Image width 240 mm, 1.00 mm slice spacing | Axial plane | Brain
FLAIR MRI.
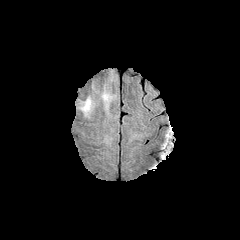
T1-weighted MR.
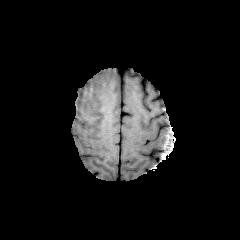
Post-contrast T1-weighted MR.
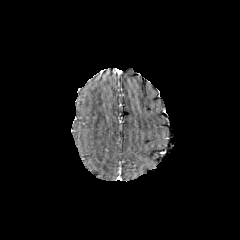
T2-weighted MR image.
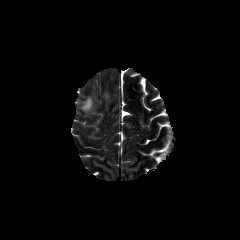
peritumoral edema at box(79, 97, 94, 115); box(101, 90, 112, 109)